240x240; Axial plane
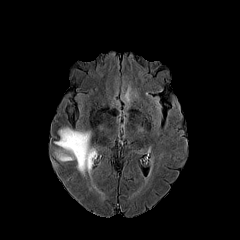
FLAIR MR.
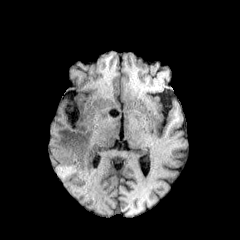
T1-weighted magnetic resonance.
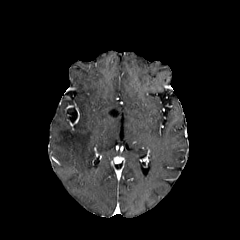
Post-contrast T1-weighted MRI.
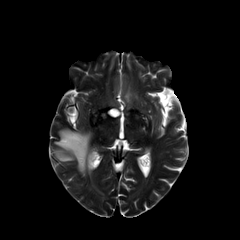
T2-weighted MR image of the same slice.
peritumoral edema: bounding box [54,128,94,175]